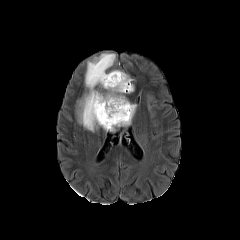
FLAIR MR.
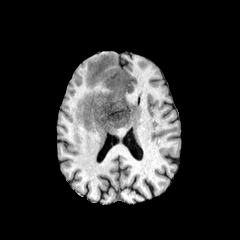
T1-weighted MRI.
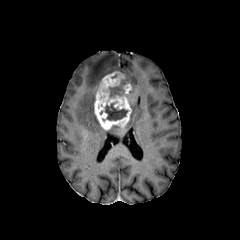
Post-contrast T1-weighted MRI of the same slice.
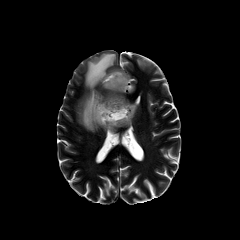
T2-weighted MR image.
Head
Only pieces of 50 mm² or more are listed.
The 2 largest necrotic tumor core regions appear at [109,78,128,96], [105,103,127,120]. The enhancing tumor is located at [94,71,132,130]. The 2 largest peritumoral edema regions are bounded by [126,104,136,125], [78,53,118,131].